FLAIR MR.
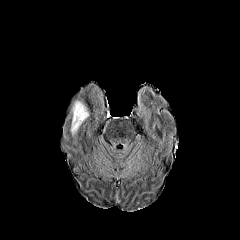
T1-weighted MRI.
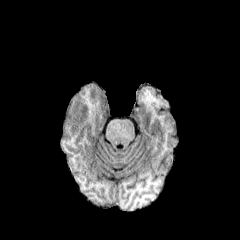
Post-contrast T1-weighted magnetic resonance.
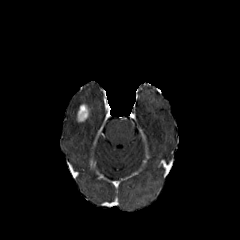
T2-weighted magnetic resonance.
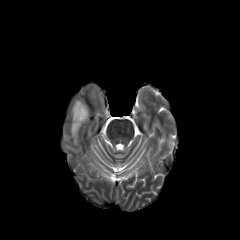
Head.
peritumoral edema = bbox(71, 100, 82, 135)
enhancing tumor = bbox(76, 104, 88, 122)